FLAIR MR.
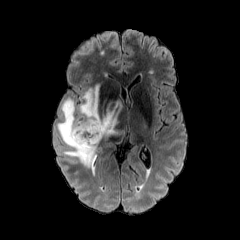
T1-weighted MR.
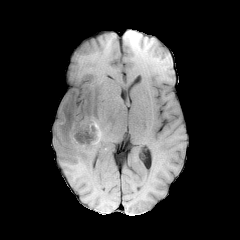
Post-contrast T1-weighted MR.
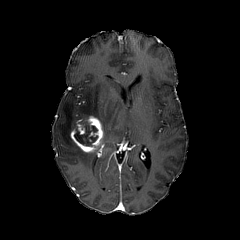
T2-weighted MR image.
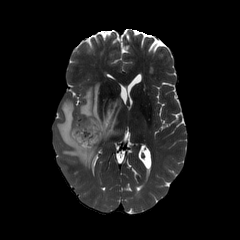
Axial slice. 240x240 px. Brain.
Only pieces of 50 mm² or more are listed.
The necrotic tumor core is bounded by 74,121,98,146. The largest peritumoral edema region is bounded by 56,83,127,174. The 2 largest enhancing tumor regions appear at 76,119,84,134; 70,116,103,152.